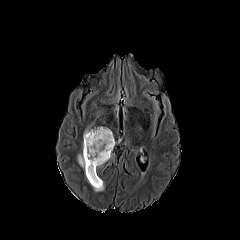
FLAIR magnetic resonance.
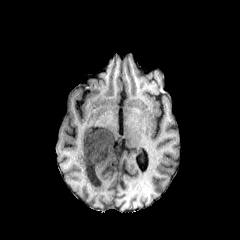
Same slice, T1-weighted MRI.
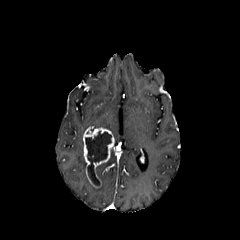
Same slice, post-contrast T1-weighted MRI.
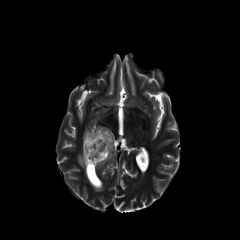
T2-weighted MRI.
Head
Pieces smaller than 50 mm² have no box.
The 2 largest peritumoral edema regions are bounded by bbox(77, 153, 86, 169); bbox(93, 180, 104, 191). The necrotic tumor core is bounded by bbox(85, 131, 111, 185). The enhancing tumor appears at bbox(83, 127, 114, 188).